FLAIR MR.
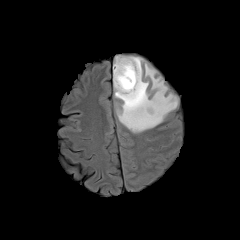
T1-weighted MRI.
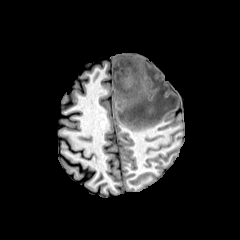
Post-contrast T1-weighted MR image.
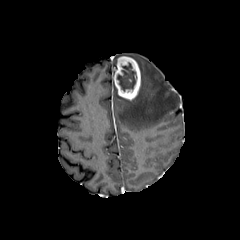
T2-weighted MR image.
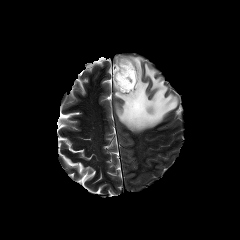
Brain
enhancing tumor = bbox(113, 56, 140, 100)
peritumoral edema = bbox(113, 55, 121, 76); bbox(114, 56, 178, 132)
necrotic tumor core = bbox(117, 63, 136, 91)